FLAIR MR.
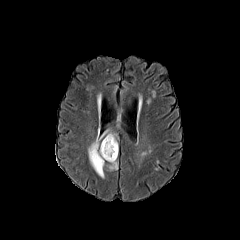
T1-weighted MR image.
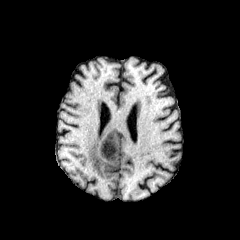
Post-contrast T1-weighted MR image.
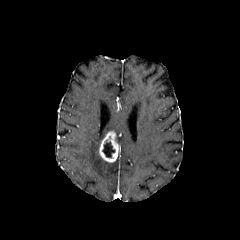
T2-weighted MR image.
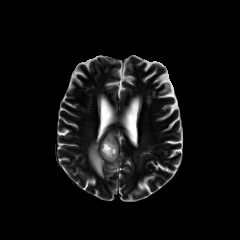
Axial plane
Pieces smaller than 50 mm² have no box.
enhancing tumor: <box>99,131,118,162</box> | peritumoral edema: <box>107,153,118,170</box>, <box>88,129,113,178</box> | necrotic tumor core: <box>102,142,115,157</box>